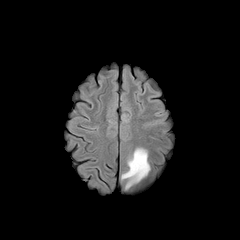
FLAIR magnetic resonance.
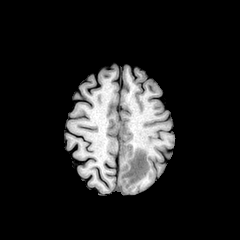
T1-weighted MRI.
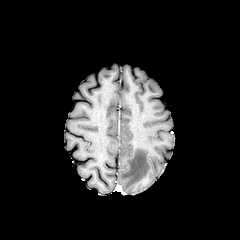
Post-contrast T1-weighted magnetic resonance.
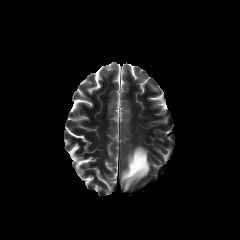
T2-weighted magnetic resonance.
240x240. Axial slice.
Annotated regions:
- peritumoral edema: bbox(121, 147, 150, 189)